FLAIR magnetic resonance.
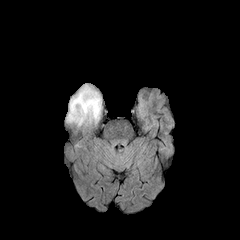
T1-weighted MR image.
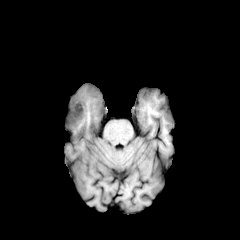
Post-contrast T1-weighted MR.
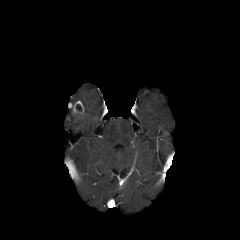
T2-weighted MR image.
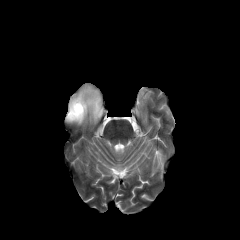
Axial view. 240x240. Head.
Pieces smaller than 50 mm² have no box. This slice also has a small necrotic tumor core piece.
peritumoral edema at (x1=67, y1=84, x2=101, y2=126)
enhancing tumor at (x1=67, y1=100, x2=84, y2=121)